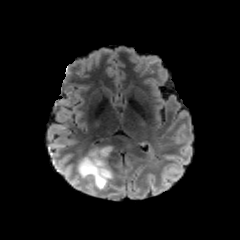
FLAIR magnetic resonance.
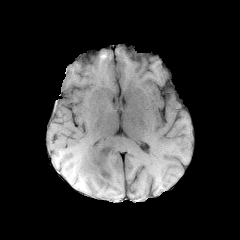
T1-weighted MR.
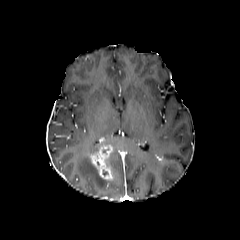
Post-contrast T1-weighted MRI.
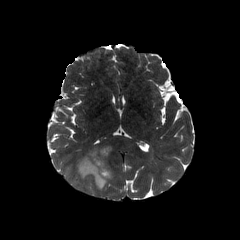
T2-weighted magnetic resonance of the same slice.
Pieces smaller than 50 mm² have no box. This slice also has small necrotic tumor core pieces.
The largest peritumoral edema region is bounded by 76 146 112 190. The enhancing tumor lies within 90 147 112 180.